FLAIR MR image.
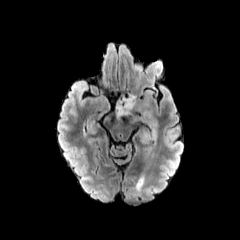
T1-weighted magnetic resonance.
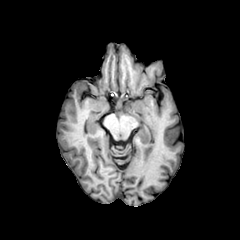
Post-contrast T1-weighted MR.
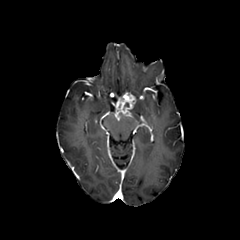
T2-weighted MR image.
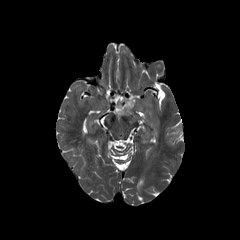
Brain
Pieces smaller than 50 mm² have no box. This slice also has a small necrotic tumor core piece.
{"enhancing_tumor": ["region(114, 92, 136, 120)"], "peritumoral_edema": ["region(141, 129, 149, 145)", "region(138, 101, 159, 139)"]}